Brain. Axial view.
FLAIR MR.
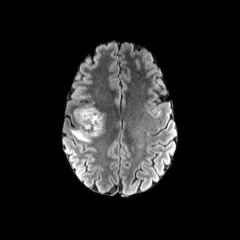
T1-weighted magnetic resonance.
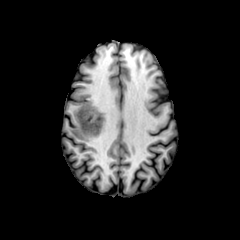
Post-contrast T1-weighted magnetic resonance.
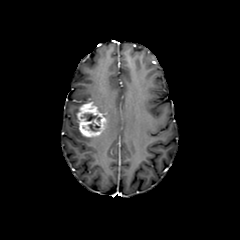
T2-weighted MR.
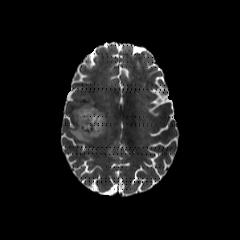
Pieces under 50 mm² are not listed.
The largest peritumoral edema region is at [x1=70, y1=108, x2=95, y2=143]. 2 necrotic tumor core regions appear at [x1=81, y1=113, x2=100, y2=121], [x1=88, y1=122, x2=99, y2=131]. The enhancing tumor is bounded by [x1=77, y1=102, x2=105, y2=137].